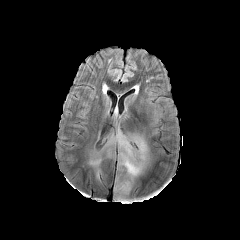
FLAIR MR image.
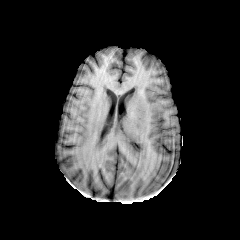
T1-weighted magnetic resonance.
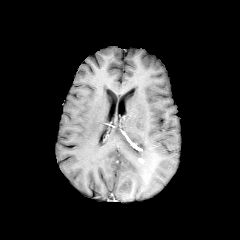
Post-contrast T1-weighted MR.
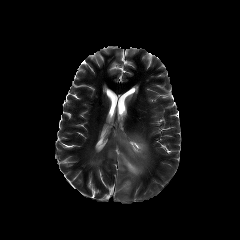
T2-weighted MR image.
Axial view, Head
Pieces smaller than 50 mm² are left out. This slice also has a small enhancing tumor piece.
peritumoral edema — bbox=[108, 129, 147, 178]; bbox=[121, 181, 130, 190]